FLAIR MRI.
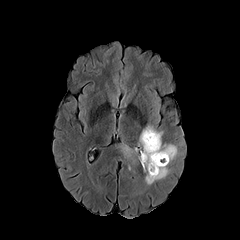
T1-weighted MRI.
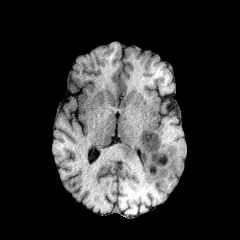
Post-contrast T1-weighted MR.
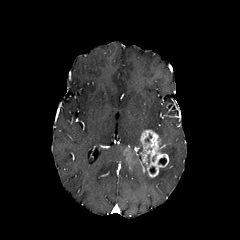
T2-weighted MR image.
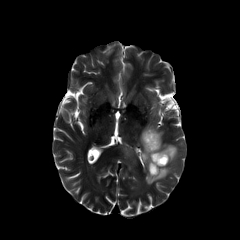
Brain; Image size 240x240; Axial slice
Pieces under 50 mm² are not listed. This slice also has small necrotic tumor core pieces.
peritumoral edema: bounding box box=[144, 125, 163, 146]; box=[160, 144, 177, 163]; box=[145, 167, 169, 184]
enhancing tumor: bounding box box=[122, 129, 168, 177]